240x240, Image width 240 mm, 1.00 mm slice spacing, Slice 109 of 155, Brain
FLAIR MRI.
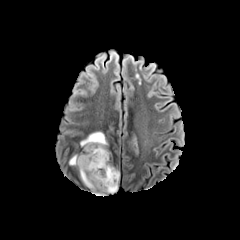
T1-weighted MRI.
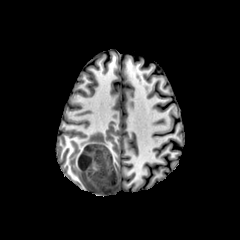
Post-contrast T1-weighted MRI.
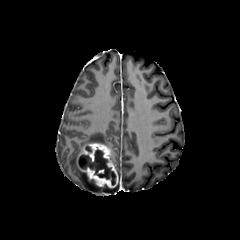
T2-weighted MRI.
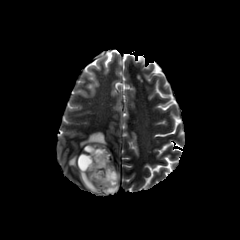
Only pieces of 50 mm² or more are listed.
{"necrotic_tumor_core": ["[x1=78, y1=149, x2=115, y2=184]"], "peritumoral_edema": ["[x1=69, y1=154, x2=78, y2=165]", "[x1=80, y1=132, x2=107, y2=146]", "[x1=79, y1=170, x2=118, y2=193]"], "enhancing_tumor": ["[x1=76, y1=143, x2=118, y2=188]"]}